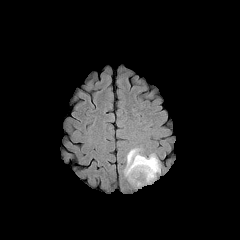
FLAIR MRI.
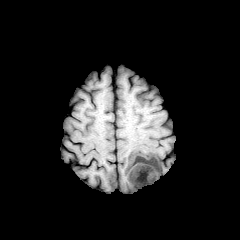
T1-weighted MRI.
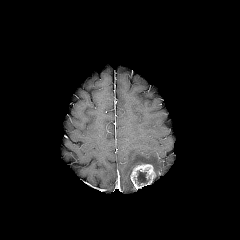
Post-contrast T1-weighted magnetic resonance of the same slice.
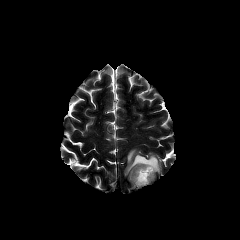
Same slice, T2-weighted MR.
Brain. Axial slice.
peritumoral edema: bounding box (124, 148, 160, 182)
necrotic tumor core: bounding box (137, 171, 148, 185)
enhancing tumor: bounding box (130, 164, 155, 188)